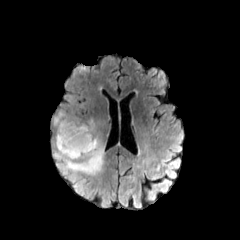
FLAIR MR.
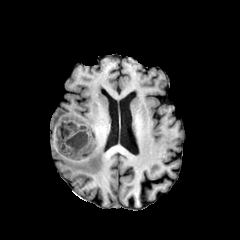
Same slice, T1-weighted MRI.
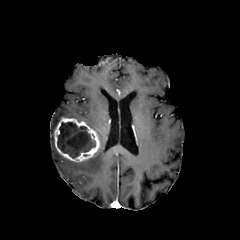
Post-contrast T1-weighted MR.
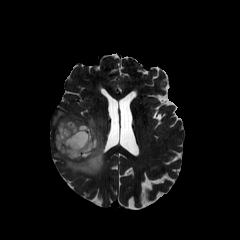
T2-weighted MRI.
Brain | Image size 240x240
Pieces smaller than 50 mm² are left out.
Annotated regions:
- necrotic tumor core: region(57, 122, 95, 158)
- enhancing tumor: region(54, 117, 99, 161)
- peritumoral edema: region(52, 109, 106, 199)